FLAIR magnetic resonance.
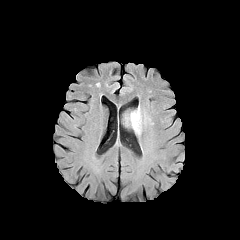
T1-weighted MRI.
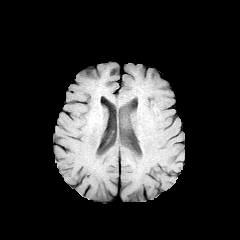
Post-contrast T1-weighted MR.
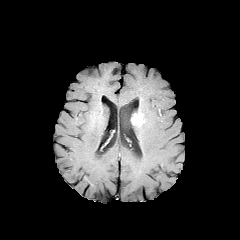
T2-weighted MR image.
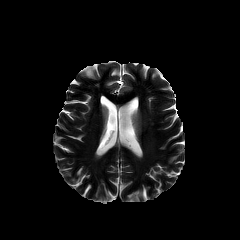
Findings:
- peritumoral edema: {"x1": 125, "y1": 108, "x2": 142, "y2": 133}
- enhancing tumor: {"x1": 131, "y1": 114, "x2": 140, "y2": 124}